Slice index 85. 240x240 px. Axial plane.
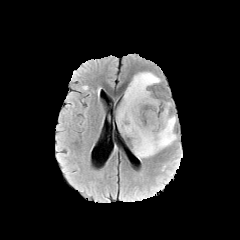
FLAIR MR.
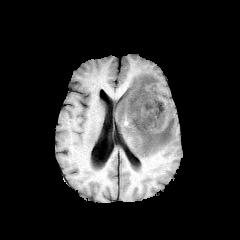
T1-weighted MR.
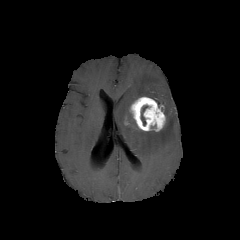
Post-contrast T1-weighted MR.
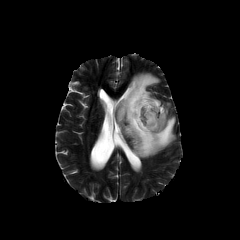
T2-weighted MR image.
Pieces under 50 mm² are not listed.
enhancing tumor: bounding box 129:96:165:131
necrotic tumor core: bounding box 141:106:147:125
peritumoral edema: bounding box 116:72:176:159